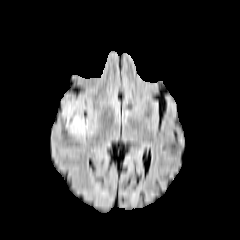
FLAIR MRI.
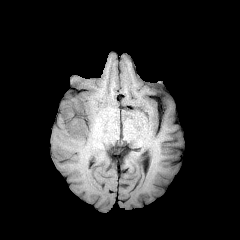
T1-weighted magnetic resonance.
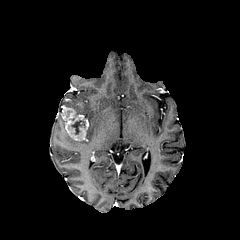
Post-contrast T1-weighted MR of the same slice.
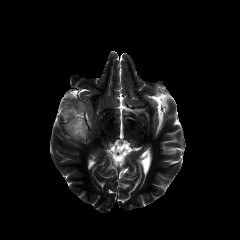
T2-weighted MRI.
Axial slice | Brain
The necrotic tumor core appears at (71,120,84,134). The peritumoral edema is located at (64,101,83,114). The enhancing tumor is located at (61,105,88,140).